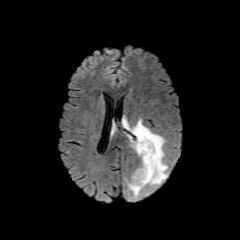
FLAIR MR.
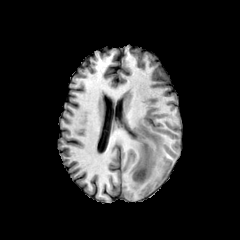
T1-weighted MR image.
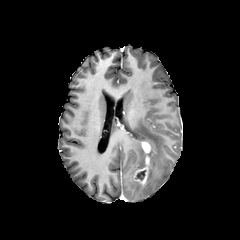
Post-contrast T1-weighted magnetic resonance.
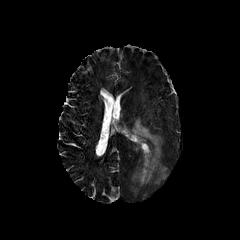
T2-weighted MRI.
Image size 240x240. Brain.
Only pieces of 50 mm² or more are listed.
necrotic_tumor_core:
  - (135, 170, 145, 180)
enhancing_tumor:
  - (133, 141, 151, 184)
peritumoral_edema:
  - (126, 119, 168, 198)